FLAIR MR image.
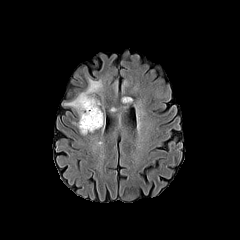
T1-weighted magnetic resonance.
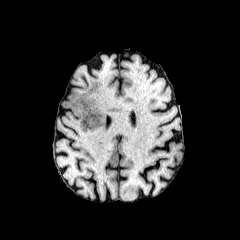
Post-contrast T1-weighted MR image.
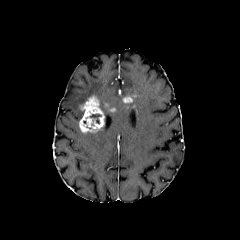
T2-weighted magnetic resonance.
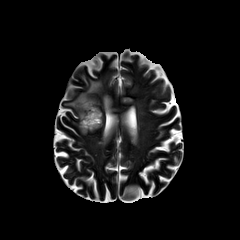
240x240 px, Brain
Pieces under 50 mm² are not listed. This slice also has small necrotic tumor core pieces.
{
  "peritumoral_edema": [
    "rect(65, 79, 102, 119)"
  ],
  "enhancing_tumor": [
    "rect(79, 95, 104, 133)"
  ]
}